FLAIR magnetic resonance.
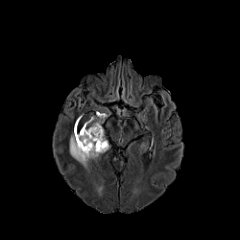
T1-weighted magnetic resonance.
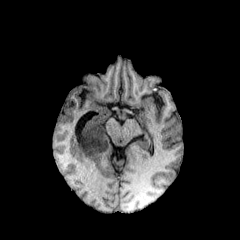
Post-contrast T1-weighted MR.
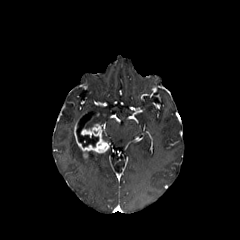
T2-weighted MR image.
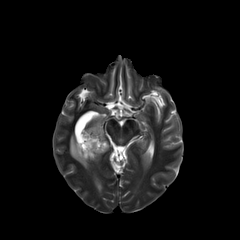
Axial plane.
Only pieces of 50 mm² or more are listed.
Annotated regions:
- peritumoral edema: rect(84, 113, 106, 128); rect(69, 135, 99, 165)
- necrotic tumor core: rect(78, 134, 98, 147)
- enhancing tumor: rect(74, 123, 109, 158)